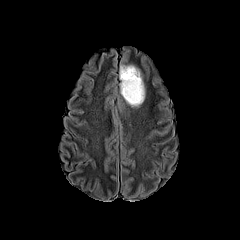
FLAIR MRI.
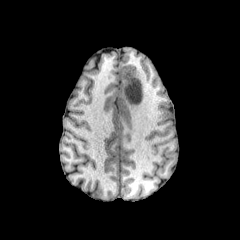
Same slice, T1-weighted MR image.
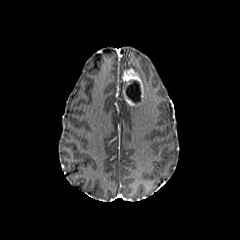
Post-contrast T1-weighted MR of the same slice.
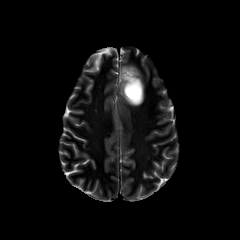
T2-weighted MRI.
Brain; 240x240; Axial slice
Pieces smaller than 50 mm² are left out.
<segmentation>
  <necrotic_tumor_core>126,81,140,102</necrotic_tumor_core>
  <enhancing_tumor>122,68,143,105</enhancing_tumor>
  <peritumoral_edema>120,65,142,81</peritumoral_edema>
</segmentation>